240x240 px. Head.
FLAIR MR.
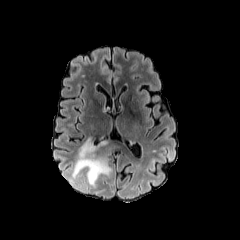
T1-weighted MR.
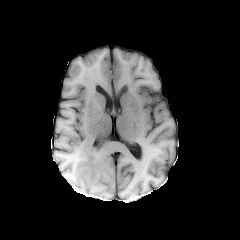
Post-contrast T1-weighted magnetic resonance.
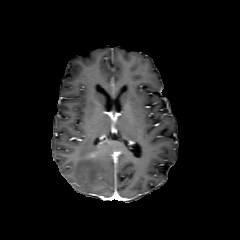
T2-weighted MRI.
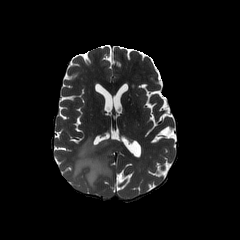
2 peritumoral edema regions are located at [x1=97, y1=139, x2=111, y2=146], [x1=72, y1=137, x2=110, y2=186].